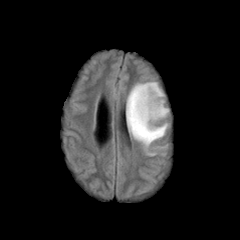
FLAIR magnetic resonance.
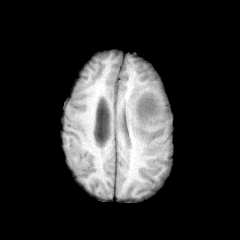
T1-weighted MR image.
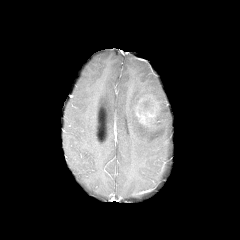
Post-contrast T1-weighted MR image.
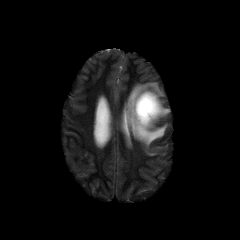
Same slice, T2-weighted magnetic resonance.
Head. Image size 240x240. Axial slice.
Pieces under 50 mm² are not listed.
<segmentation>
  <enhancing_tumor>(left=135, top=94, right=159, bottom=124)</enhancing_tumor>
  <peritumoral_edema>(left=126, top=82, right=169, bottom=155)</peritumoral_edema>
  <necrotic_tumor_core>(left=139, top=100, right=151, bottom=113)</necrotic_tumor_core>
</segmentation>